FLAIR magnetic resonance.
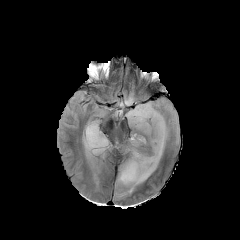
T1-weighted MR image.
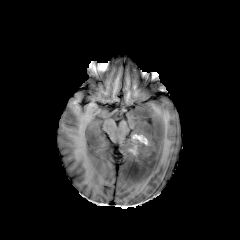
Post-contrast T1-weighted magnetic resonance.
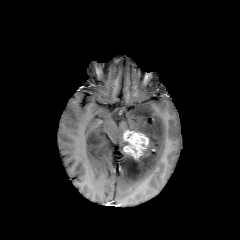
T2-weighted MRI.
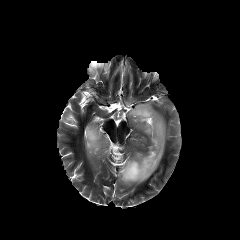
Brain
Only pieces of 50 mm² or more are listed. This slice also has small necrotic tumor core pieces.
{"peritumoral_edema": ["<box>120,96,133,107</box>", "<box>83,121,110,160</box>", "<box>117,101,168,193</box>"], "enhancing_tumor": ["<box>123,131,148,159</box>"]}